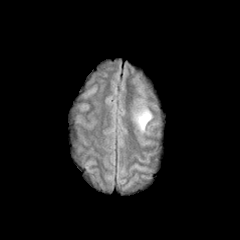
FLAIR MR image.
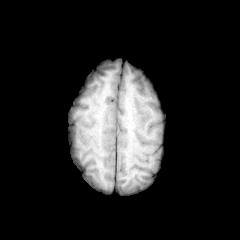
Same slice, T1-weighted MR image.
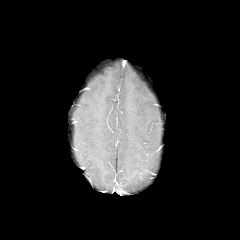
Same slice, post-contrast T1-weighted MR image.
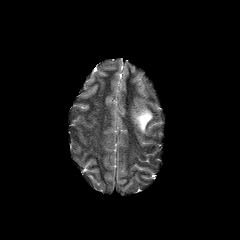
T2-weighted MRI of the same slice.
Brain
The peritumoral edema appears at (x1=134, y1=108, x2=152, y2=132).